FLAIR MR.
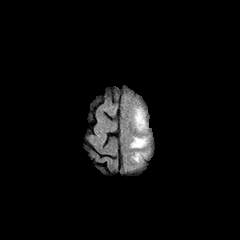
T1-weighted MR.
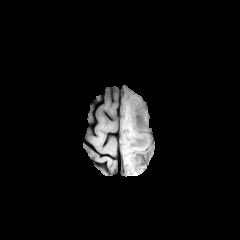
Post-contrast T1-weighted MRI.
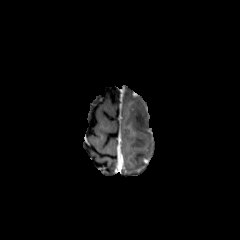
T2-weighted magnetic resonance.
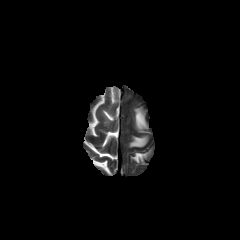
peritumoral edema: left=130, top=136, right=147, bottom=147; left=132, top=152, right=146, bottom=162; left=134, top=107, right=147, bottom=131